FLAIR magnetic resonance.
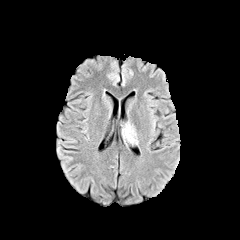
T1-weighted MRI.
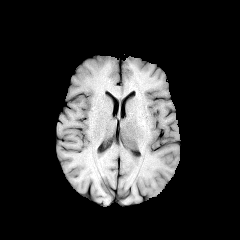
Post-contrast T1-weighted magnetic resonance.
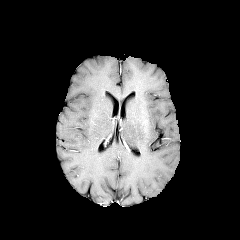
T2-weighted MRI.
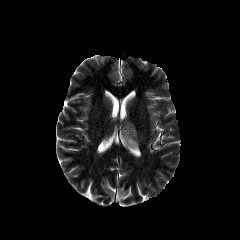
Axial view
{"peritumoral_edema": ["bbox(122, 123, 138, 144)"]}